Image size 240x240.
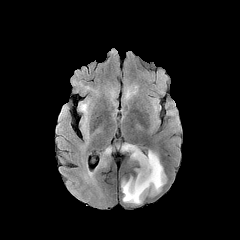
FLAIR MR.
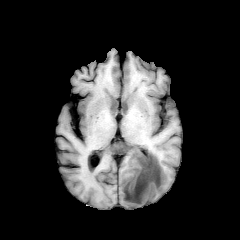
T1-weighted magnetic resonance.
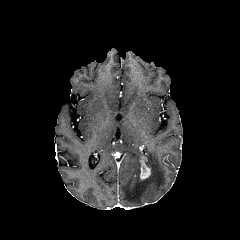
Post-contrast T1-weighted MRI.
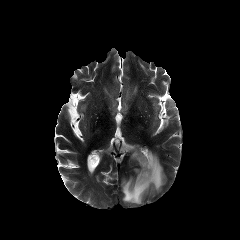
T2-weighted magnetic resonance of the same slice.
peritumoral edema at 80 103 88 113, 121 144 165 204
enhancing tumor at 140 156 150 180